FLAIR MR image.
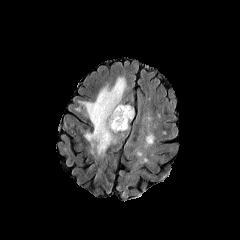
T1-weighted MR image.
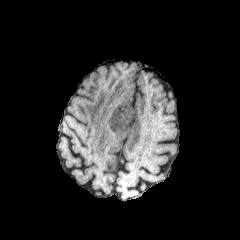
Post-contrast T1-weighted MR.
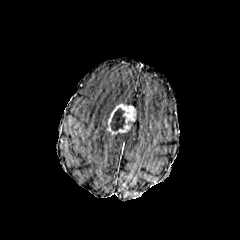
T2-weighted magnetic resonance.
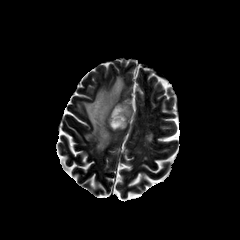
Axial plane. 240x240.
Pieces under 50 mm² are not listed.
{
  "enhancing_tumor": [
    "107 104 135 134"
  ],
  "peritumoral_edema": [
    "80 77 126 156"
  ],
  "necrotic_tumor_core": [
    "110 108 125 131"
  ]
}